Axial plane | Head | 240x240 px
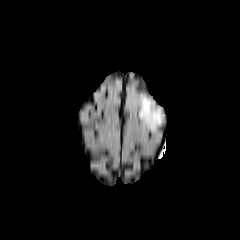
FLAIR MR.
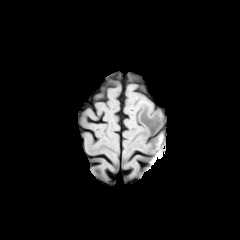
Same slice, T1-weighted MR.
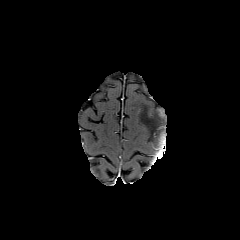
Post-contrast T1-weighted MRI.
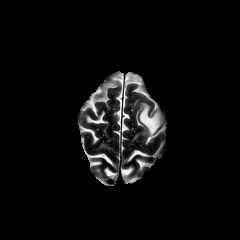
Same slice, T2-weighted MRI.
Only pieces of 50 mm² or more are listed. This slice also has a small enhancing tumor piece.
Findings:
* peritumoral edema: region(139, 98, 162, 132)